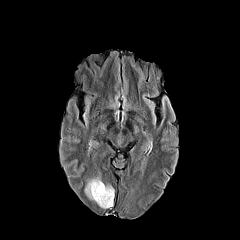
FLAIR MR.
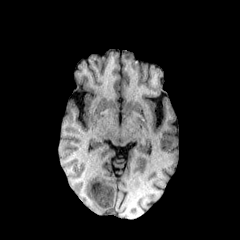
T1-weighted magnetic resonance of the same slice.
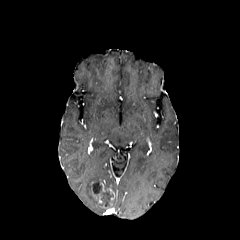
Same slice, post-contrast T1-weighted MR image.
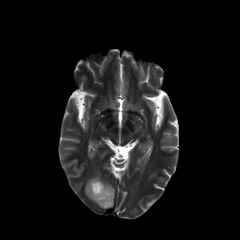
T2-weighted MRI of the same slice.
240x240 px; Axial slice
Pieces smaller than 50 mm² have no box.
enhancing tumor — box=[91, 181, 114, 208]
peritumoral edema — box=[85, 176, 100, 203]
necrotic tumor core — box=[101, 191, 113, 206]; box=[92, 183, 101, 194]